FLAIR MR.
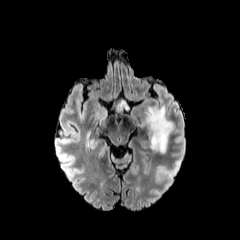
T1-weighted MRI.
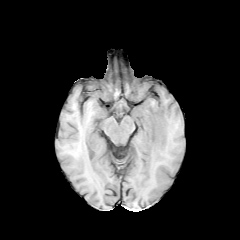
Post-contrast T1-weighted MR image.
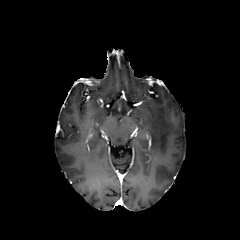
T2-weighted magnetic resonance.
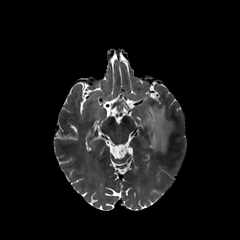
Brain, 240x240
peritumoral edema = [121, 100, 129, 110], [140, 106, 173, 152]